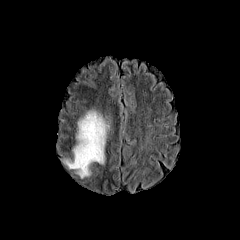
FLAIR MRI.
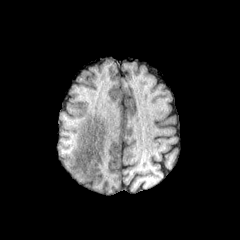
T1-weighted MR.
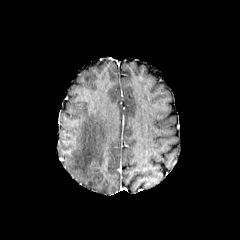
Same slice, post-contrast T1-weighted MR image.
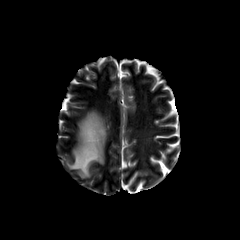
Same slice, T2-weighted MR.
The peritumoral edema is at [61,109,109,178].